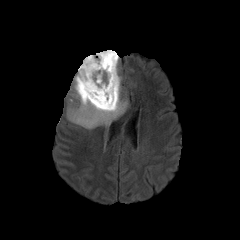
FLAIR MR image.
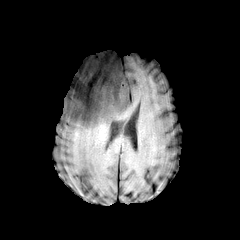
T1-weighted magnetic resonance of the same slice.
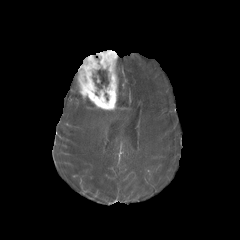
Same slice, post-contrast T1-weighted MR image.
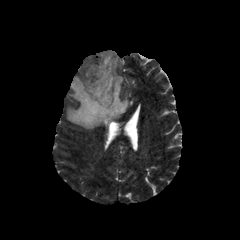
T2-weighted magnetic resonance.
Brain. Axial plane. 240x240.
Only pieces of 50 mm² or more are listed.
<segmentation>
  <necrotic_tumor_core>[93, 69, 108, 89]</necrotic_tumor_core>
  <peritumoral_edema>[66, 56, 128, 129]</peritumoral_edema>
  <enhancing_tumor>[77, 50, 118, 110]</enhancing_tumor>
</segmentation>